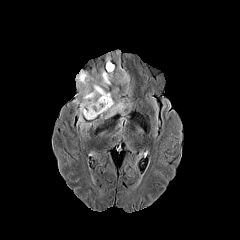
FLAIR MR.
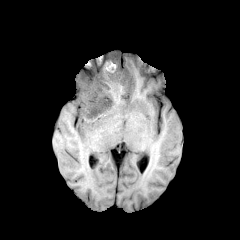
T1-weighted MRI.
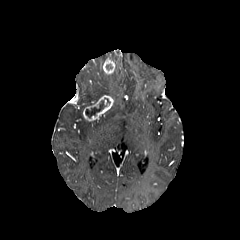
Same slice, post-contrast T1-weighted magnetic resonance.
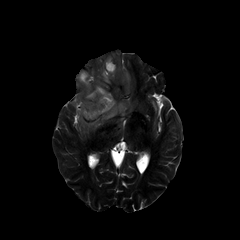
T2-weighted MRI of the same slice.
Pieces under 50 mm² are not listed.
<segmentation>
  <necrotic_tumor_core>[85, 100, 105, 117]</necrotic_tumor_core>
  <peritumoral_edema>[99, 100, 129, 127], [76, 71, 112, 131], [101, 50, 129, 89]</peritumoral_edema>
  <enhancing_tumor>[103, 58, 114, 74], [83, 95, 113, 121]</enhancing_tumor>
</segmentation>